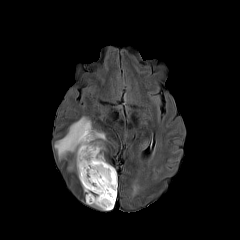
FLAIR MR.
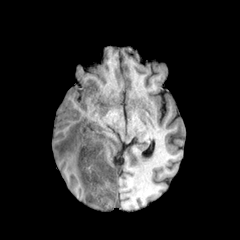
Same slice, T1-weighted MR image.
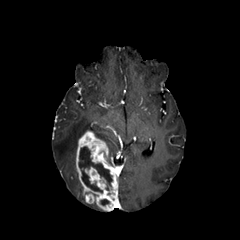
Post-contrast T1-weighted MRI.
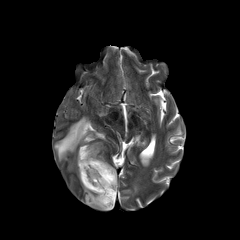
T2-weighted magnetic resonance.
Image size 240x240 | Head
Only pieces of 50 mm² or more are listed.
The enhancing tumor is at left=76, top=130, right=118, bottom=211. The largest necrotic tumor core region is bounded by left=79, top=147, right=112, bottom=192. The largest peritumoral edema region is at left=54, top=116, right=106, bottom=169.